Slice 102 of 155; Head; Axial slice
FLAIR MR image.
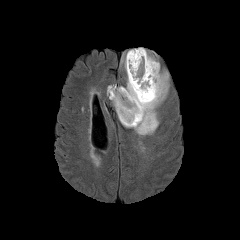
T1-weighted MR image.
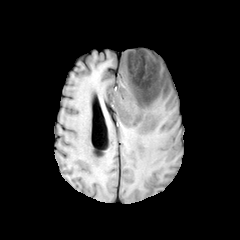
Post-contrast T1-weighted MRI.
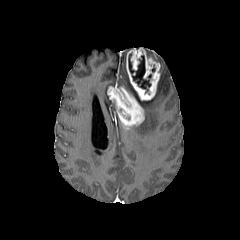
T2-weighted MRI.
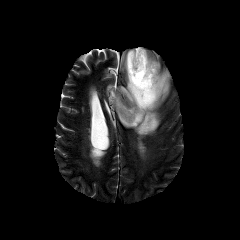
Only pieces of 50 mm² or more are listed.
Segmented structures:
• necrotic tumor core: box=[128, 53, 151, 92]
• peritumoral edema: box=[121, 53, 133, 92]; box=[129, 70, 169, 135]
• enhancing tumor: box=[107, 47, 160, 127]